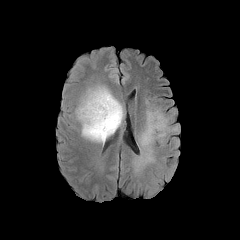
FLAIR magnetic resonance.
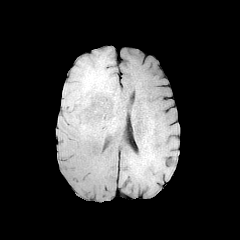
T1-weighted MR image of the same slice.
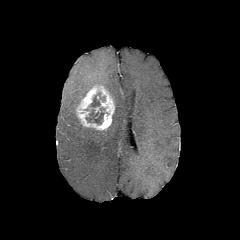
Post-contrast T1-weighted MR.
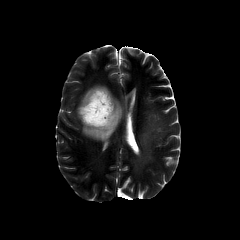
T2-weighted MR.
Brain, 240x240 px
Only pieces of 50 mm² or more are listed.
The largest enhancing tumor region is bounded by [76, 85, 114, 130]. The 3 largest peritumoral edema regions appear at [81, 86, 123, 143], [133, 99, 179, 167], [171, 138, 179, 156]. The 2 largest necrotic tumor core regions appear at [86, 107, 105, 124], [89, 92, 105, 107].